FLAIR MR image.
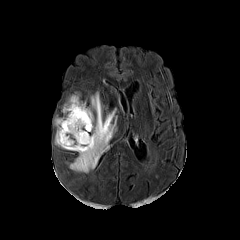
T1-weighted MR image.
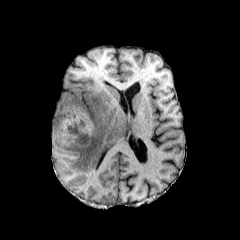
Post-contrast T1-weighted magnetic resonance.
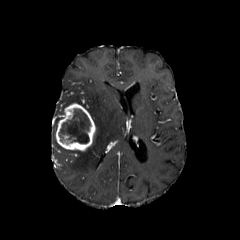
T2-weighted MRI.
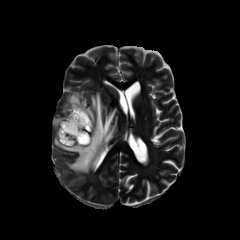
Axial slice
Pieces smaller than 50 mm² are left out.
Findings:
- enhancing tumor: <box>55,103,95,151</box>
- peritumoral edema: <box>64,92,117,172</box>
- necrotic tumor core: <box>59,109,90,143</box>